240x240 px; Image covers 240 mm x 240 mm
FLAIR MR image.
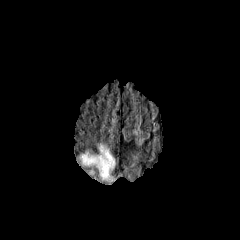
T1-weighted MR.
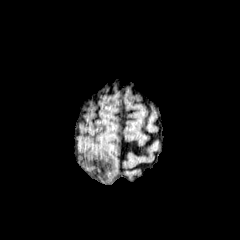
Post-contrast T1-weighted MR.
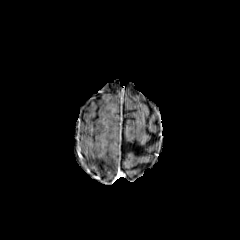
T2-weighted MRI.
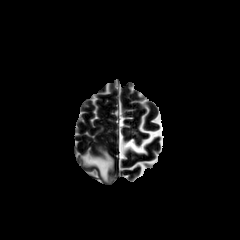
peritumoral edema: left=82, top=145, right=114, bottom=180